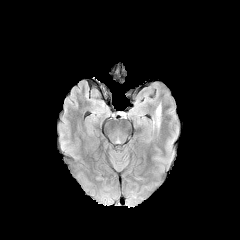
FLAIR MR.
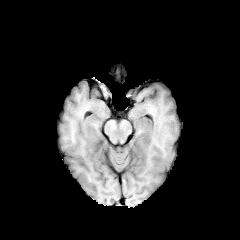
T1-weighted magnetic resonance.
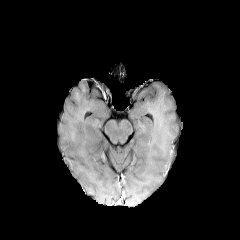
Post-contrast T1-weighted MRI of the same slice.
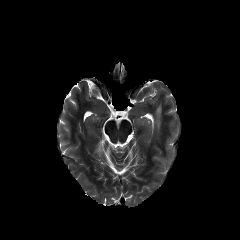
T2-weighted magnetic resonance.
240x240 px; Axial view
Annotated regions:
* peritumoral edema: (151,104,161,131)